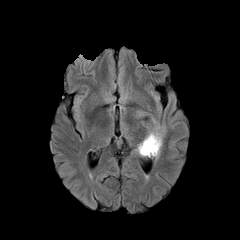
FLAIR MRI.
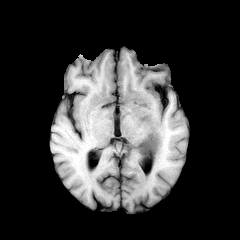
Same slice, T1-weighted MR.
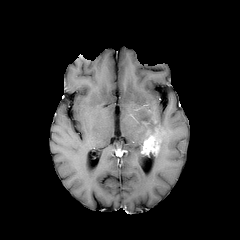
Post-contrast T1-weighted MR image.
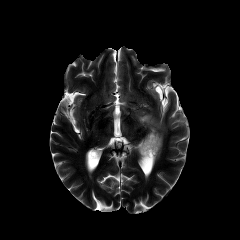
T2-weighted MR.
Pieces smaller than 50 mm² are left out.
enhancing tumor at (140, 117, 165, 155)
necrotic tumor core at (148, 122, 157, 131)
peritumoral edema at (136, 143, 146, 156)